Image width 240 mm | Brain | Slice 43 of 155
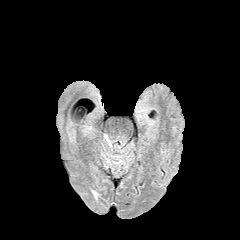
FLAIR MR image.
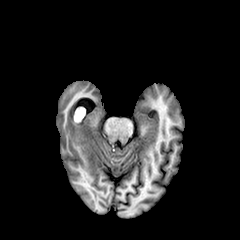
T1-weighted MR.
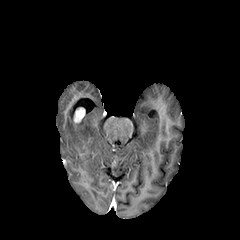
Same slice, post-contrast T1-weighted MR image.
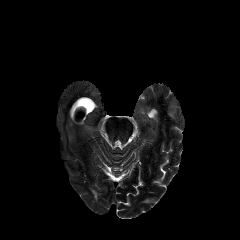
T2-weighted MR of the same slice.
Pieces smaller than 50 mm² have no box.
Segmented structures:
* peritumoral edema: [x1=91, y1=189, x2=99, y2=200]